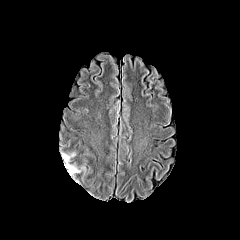
FLAIR MR image.
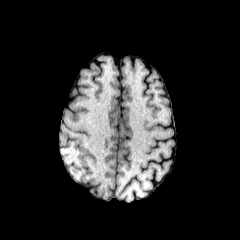
T1-weighted magnetic resonance.
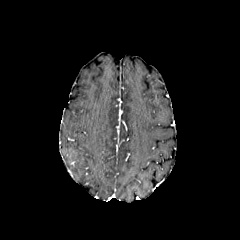
Same slice, post-contrast T1-weighted MRI.
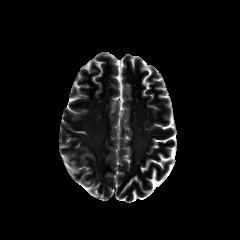
T2-weighted MRI.
Brain.
peritumoral edema: bounding box bbox=[63, 154, 79, 173]